FLAIR MR.
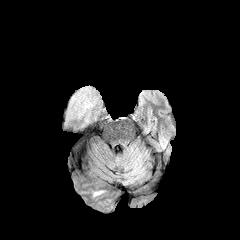
T1-weighted MR.
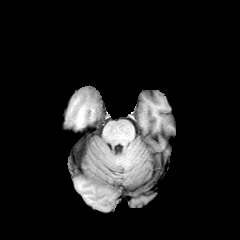
Post-contrast T1-weighted MRI.
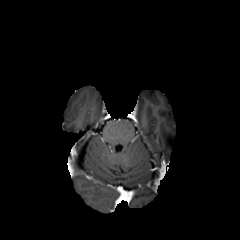
T2-weighted MRI.
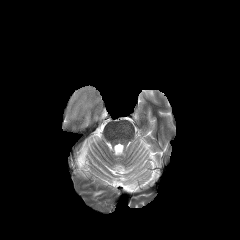
Axial plane.
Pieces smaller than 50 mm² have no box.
The largest peritumoral edema region is located at <box>63,86,101,126</box>.